Slice 103 of 155. Image size 240x240. Axial slice. Head.
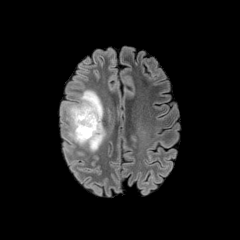
FLAIR magnetic resonance.
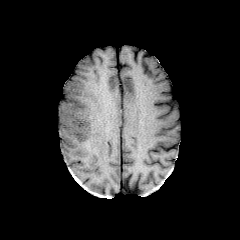
T1-weighted MRI.
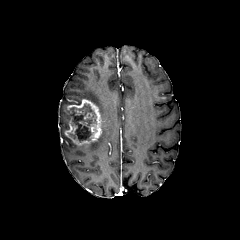
Post-contrast T1-weighted MRI of the same slice.
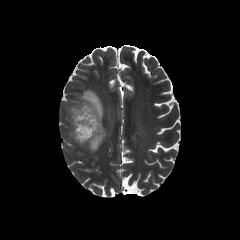
T2-weighted MR of the same slice.
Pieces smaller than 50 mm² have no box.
The largest necrotic tumor core region is bounded by left=70, top=104, right=94, bottom=141. The 3 largest peritumoral edema regions appear at left=62, top=131, right=74, bottom=151; left=81, top=123, right=105, bottom=151; left=61, top=90, right=103, bottom=118. The enhancing tumor is bounded by left=64, top=98, right=102, bottom=146.